Head
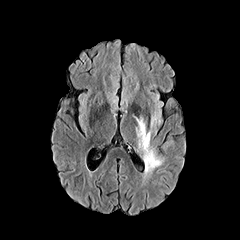
FLAIR MR image.
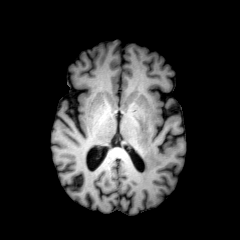
T1-weighted MRI.
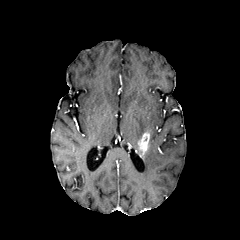
Post-contrast T1-weighted MRI.
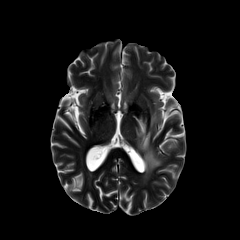
Same slice, T2-weighted magnetic resonance.
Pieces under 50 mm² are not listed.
enhancing tumor: (138, 132, 149, 154) | peritumoral edema: (143, 140, 165, 172), (132, 113, 146, 140), (162, 136, 173, 151), (151, 112, 157, 127)